FLAIR MRI.
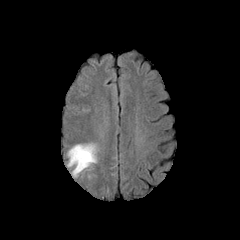
T1-weighted MRI.
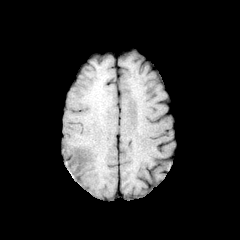
Post-contrast T1-weighted MR.
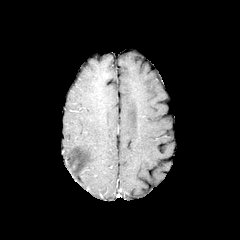
T2-weighted MRI.
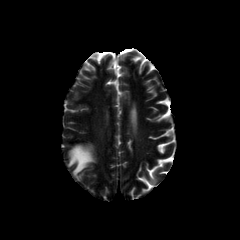
<segmentation>
  <peritumoral_edema>[67,143,96,177]</peritumoral_edema>
</segmentation>